FLAIR MR image.
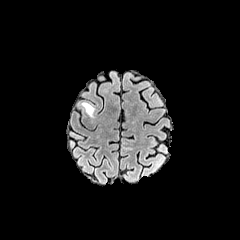
T1-weighted MR image.
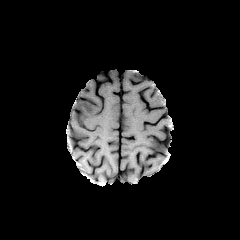
Post-contrast T1-weighted MR.
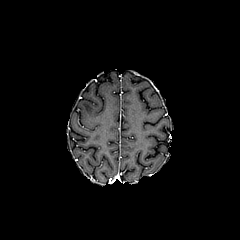
T2-weighted MR image.
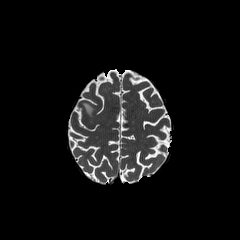
240x240 px | Axial plane
peritumoral edema at <box>82,102,93,116</box>